FLAIR magnetic resonance.
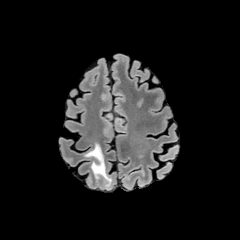
T1-weighted MR image.
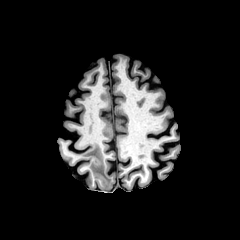
Post-contrast T1-weighted MRI.
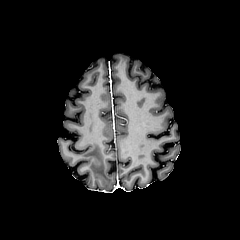
T2-weighted MR.
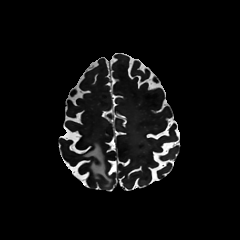
Head
peritumoral_edema:
  - {"x1": 84, "y1": 143, "x2": 111, "y2": 185}